FLAIR MR image.
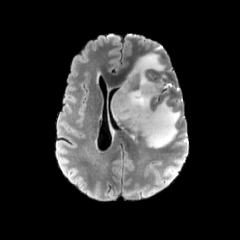
T1-weighted MR.
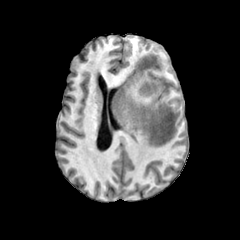
Post-contrast T1-weighted MR image.
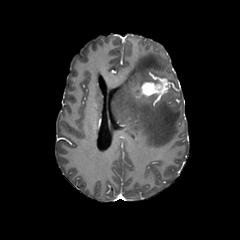
T2-weighted MR.
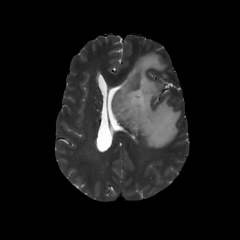
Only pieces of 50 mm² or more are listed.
enhancing_tumor:
  - (x1=140, y1=78, x2=171, y2=96)
peritumoral_edema:
  - (x1=112, y1=53, x2=180, y2=148)